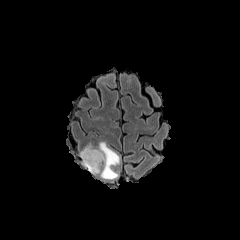
FLAIR MRI.
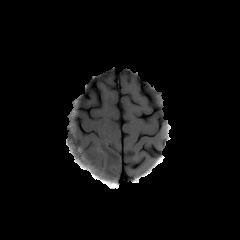
T1-weighted MRI of the same slice.
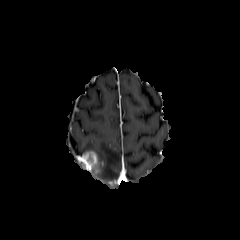
Post-contrast T1-weighted magnetic resonance.
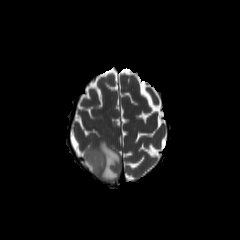
Same slice, T2-weighted MR image.
240x240 | Head | Axial view
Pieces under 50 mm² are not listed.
Annotated regions:
* peritumoral edema: box(79, 141, 120, 181)
* enhancing tumor: box(81, 150, 99, 173)